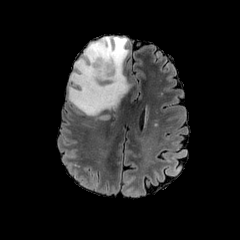
FLAIR MR image.
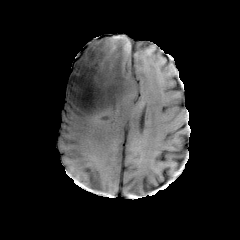
T1-weighted MR image.
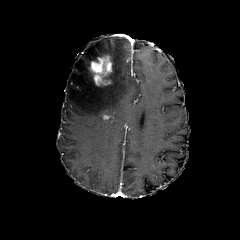
Post-contrast T1-weighted magnetic resonance.
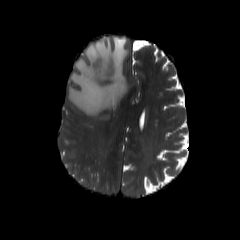
T2-weighted MRI.
Axial view. Brain.
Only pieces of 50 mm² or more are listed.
enhancing tumor: bounding box 89, 55, 112, 86
peritumoral edema: bounding box 67, 36, 130, 117